240x240 px
FLAIR MRI.
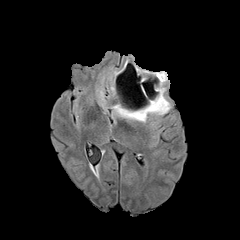
T1-weighted MR image.
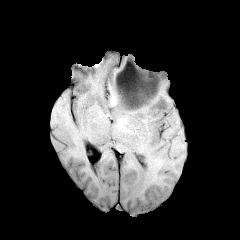
Post-contrast T1-weighted MRI.
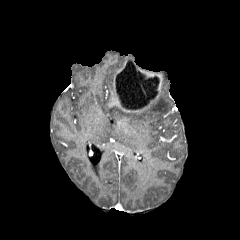
T2-weighted MR.
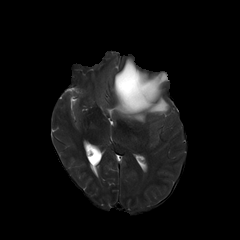
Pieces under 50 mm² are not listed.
necrotic tumor core at <box>116,61,159,110</box>
enhancing tumor at <box>138,68,162,98</box>, <box>113,61,126,93</box>, <box>116,97,149,112</box>
peritumoral edema at <box>161,72,167,84</box>, <box>112,87,170,122</box>